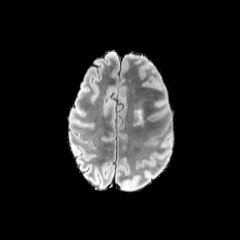
FLAIR MRI.
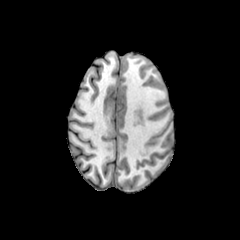
T1-weighted MRI.
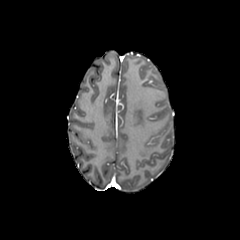
Same slice, post-contrast T1-weighted MR image.
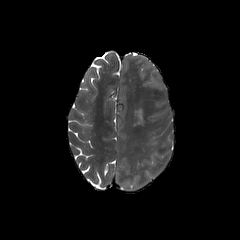
T2-weighted MR image of the same slice.
Head
<segmentation>
  <peritumoral_edema>bbox=[135, 109, 142, 124]</peritumoral_edema>
</segmentation>